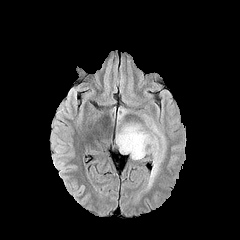
FLAIR MR image.
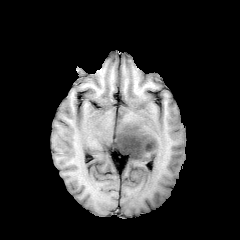
T1-weighted MR image of the same slice.
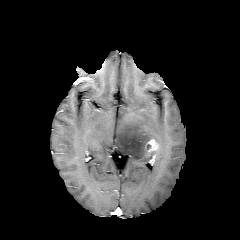
Same slice, post-contrast T1-weighted MRI.
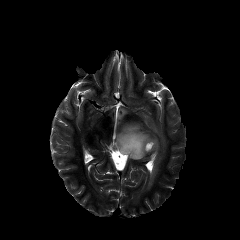
Same slice, T2-weighted MR.
Axial view; 240x240
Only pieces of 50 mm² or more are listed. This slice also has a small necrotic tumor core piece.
{
  "enhancing_tumor": [
    {"x1": 145, "y1": 139, "x2": 159, "y2": 152}
  ],
  "peritumoral_edema": [
    {"x1": 115, "y1": 114, "x2": 165, "y2": 181},
    {"x1": 117, "y1": 108, "x2": 126, "y2": 125}
  ]
}